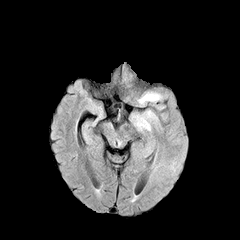
FLAIR magnetic resonance.
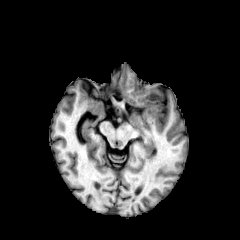
Same slice, T1-weighted MR image.
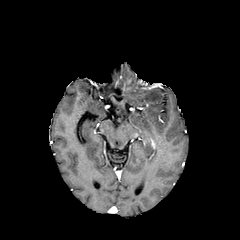
Same slice, post-contrast T1-weighted MR.
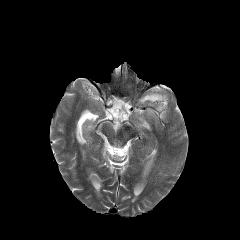
T2-weighted MR.
Brain.
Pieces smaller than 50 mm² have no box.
The 2 largest peritumoral edema regions appear at box(135, 110, 156, 130); box(138, 92, 162, 103).